Slice 88/155, Image size 240x240
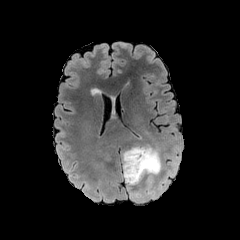
FLAIR MR image.
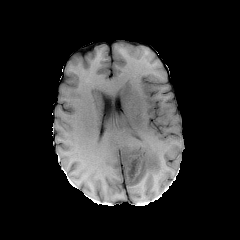
T1-weighted magnetic resonance.
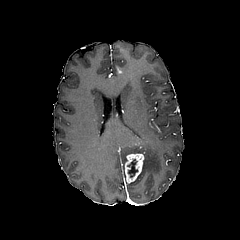
Same slice, post-contrast T1-weighted MR.
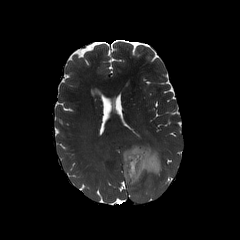
T2-weighted MRI of the same slice.
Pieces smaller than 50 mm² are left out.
Findings:
- necrotic tumor core: 127,159,137,177
- enhancing tumor: 124,153,144,182
- peritumoral edema: 121,145,162,196